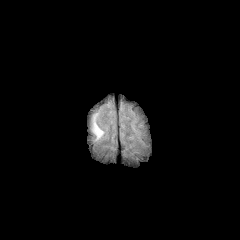
FLAIR MR.
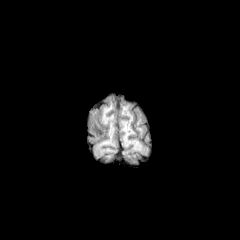
Same slice, T1-weighted magnetic resonance.
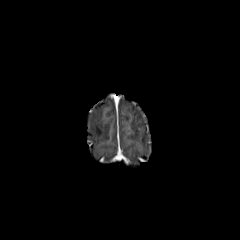
Post-contrast T1-weighted MR image.
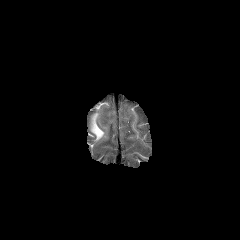
T2-weighted magnetic resonance.
240x240, Brain, Axial plane
Findings:
* peritumoral edema: <box>92,114,103,139</box>